Slice 82 of 155
FLAIR MRI.
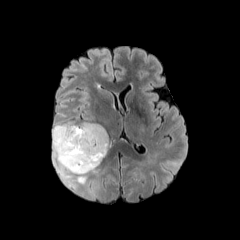
T1-weighted MRI.
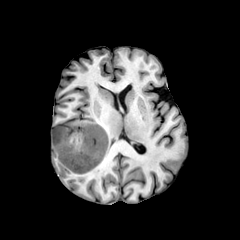
Post-contrast T1-weighted magnetic resonance.
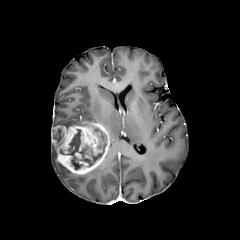
T2-weighted MR image.
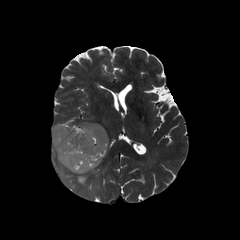
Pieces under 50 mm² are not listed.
The 3 largest peritumoral edema regions appear at bbox(54, 122, 82, 126); bbox(52, 143, 71, 180); bbox(76, 174, 86, 183). The 2 largest necrotic tumor core regions are located at bbox(94, 128, 105, 140); bbox(67, 129, 106, 169). The largest enhancing tumor region is at bbox(52, 122, 110, 174).